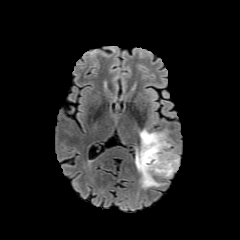
FLAIR MRI.
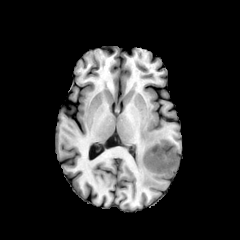
T1-weighted MRI of the same slice.
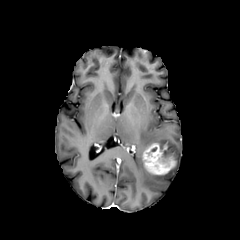
Same slice, post-contrast T1-weighted MRI.
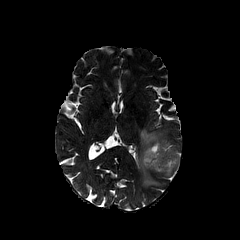
T2-weighted magnetic resonance.
Head | 240x240 px
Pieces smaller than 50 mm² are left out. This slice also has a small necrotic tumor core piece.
peritumoral edema: box=[135, 129, 171, 188]; box=[159, 150, 179, 177]
enhancing tumor: box=[142, 143, 176, 174]